Image covers 240 mm x 240 mm; Slice 74 of 155; 240x240; Brain
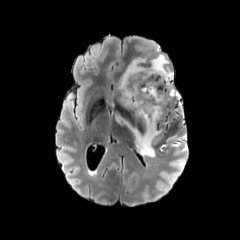
FLAIR MR.
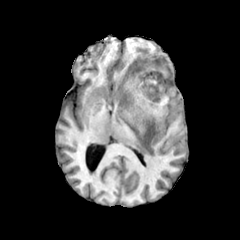
T1-weighted MR.
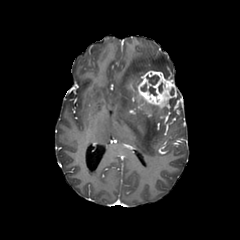
Post-contrast T1-weighted MR image of the same slice.
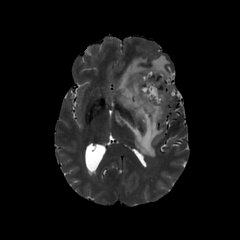
T2-weighted MR.
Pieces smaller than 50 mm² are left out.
The 2 largest necrotic tumor core regions are located at 146, 75, 159, 84; 149, 86, 156, 95. The largest peritumoral edema region is at 116, 54, 173, 157. The largest enhancing tumor region is at 136, 71, 177, 108.